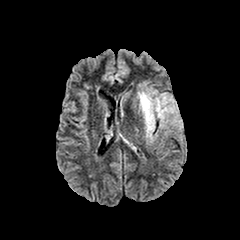
FLAIR MRI.
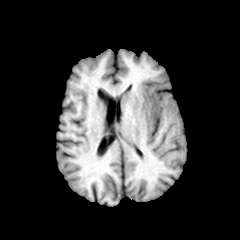
T1-weighted MRI.
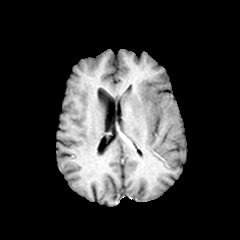
Post-contrast T1-weighted MR image.
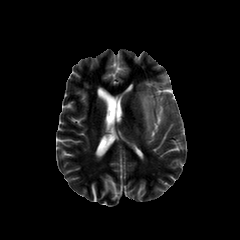
T2-weighted MR.
Head
The peritumoral edema is located at bbox(137, 88, 175, 140).